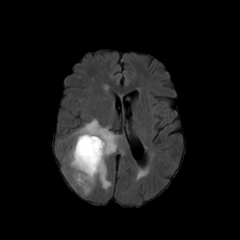
FLAIR magnetic resonance.
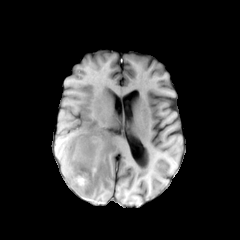
T1-weighted magnetic resonance.
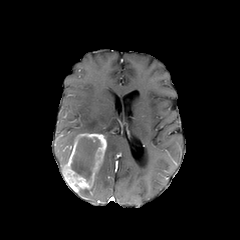
Post-contrast T1-weighted MR of the same slice.
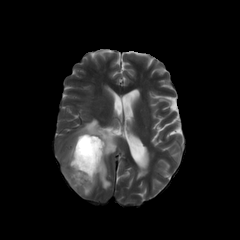
T2-weighted MRI of the same slice.
Head | 240x240 | Axial view
enhancing_tumor:
  - box(62, 133, 106, 192)
peritumoral_edema:
  - box(64, 144, 72, 164)
  - box(79, 189, 90, 195)
  - box(73, 118, 121, 192)
necrotic_tumor_core:
  - box(71, 137, 99, 179)